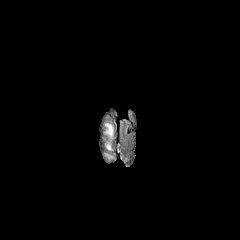
FLAIR MR.
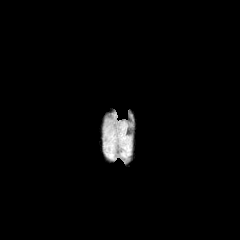
Same slice, T1-weighted MR image.
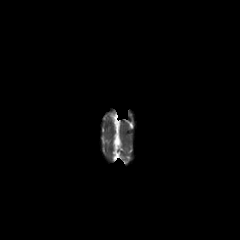
Post-contrast T1-weighted magnetic resonance of the same slice.
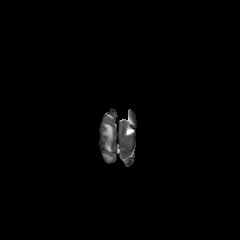
T2-weighted MR.
Axial slice, Head
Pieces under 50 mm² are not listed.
peritumoral edema: bounding box (106,124,112,136)